Brain | Slice index 100
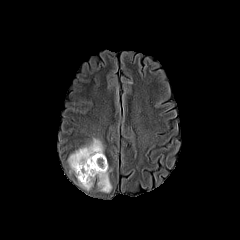
FLAIR MRI.
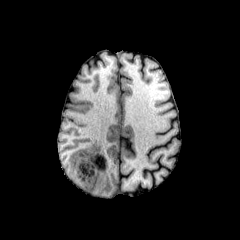
Same slice, T1-weighted magnetic resonance.
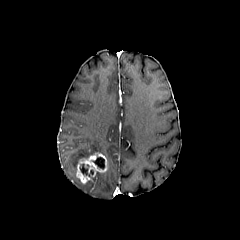
Same slice, post-contrast T1-weighted MR.
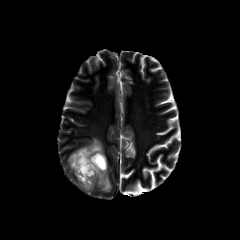
Same slice, T2-weighted MR image.
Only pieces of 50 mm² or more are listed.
necrotic tumor core: {"x1": 80, "y1": 164, "x2": 89, "y2": 176}, {"x1": 93, "y1": 157, "x2": 104, "y2": 168} | peritumoral edema: {"x1": 67, "y1": 138, "x2": 104, "y2": 175}, {"x1": 77, "y1": 165, "x2": 112, "y2": 192} | enhancing tumor: {"x1": 76, "y1": 152, "x2": 107, "y2": 184}